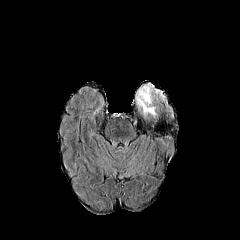
FLAIR MR image.
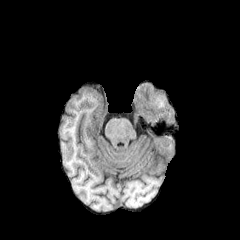
T1-weighted MR.
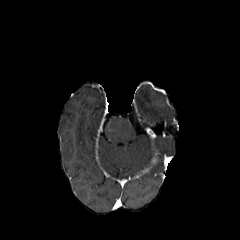
Post-contrast T1-weighted magnetic resonance of the same slice.
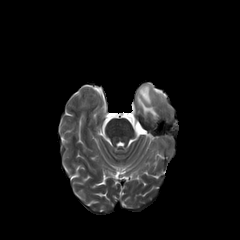
Same slice, T2-weighted MR.
240x240 px.
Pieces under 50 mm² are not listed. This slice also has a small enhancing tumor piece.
The largest peritumoral edema region is located at 136:85:156:115.